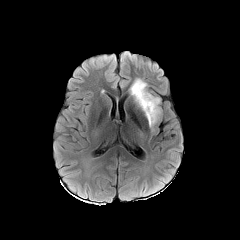
FLAIR MR.
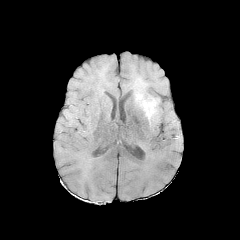
Same slice, T1-weighted MR.
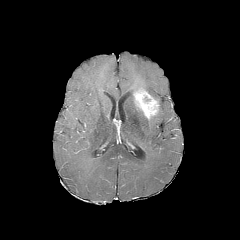
Post-contrast T1-weighted MRI of the same slice.
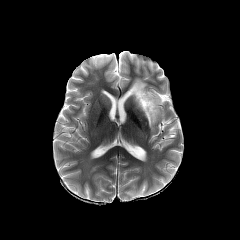
Same slice, T2-weighted MRI.
Head
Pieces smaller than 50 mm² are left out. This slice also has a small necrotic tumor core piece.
- enhancing tumor: {"x1": 134, "y1": 89, "x2": 158, "y2": 119}
- peritumoral edema: {"x1": 129, "y1": 78, "x2": 147, "y2": 96}, {"x1": 148, "y1": 106, "x2": 160, "y2": 128}